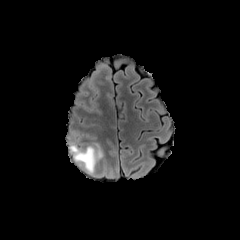
FLAIR MR.
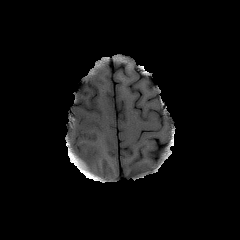
T1-weighted MR.
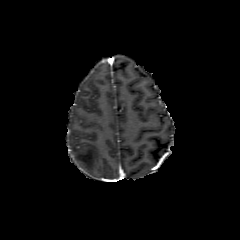
Post-contrast T1-weighted magnetic resonance.
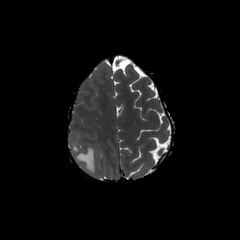
T2-weighted MR image of the same slice.
Head
Annotated regions:
* peritumoral edema: [x1=70, y1=143, x2=103, y2=174]